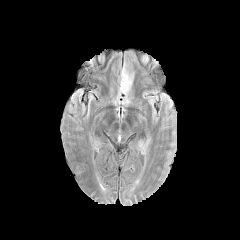
FLAIR MR.
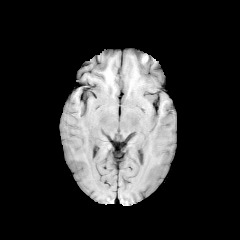
T1-weighted MR of the same slice.
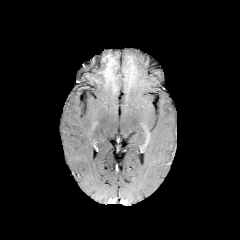
Post-contrast T1-weighted magnetic resonance.
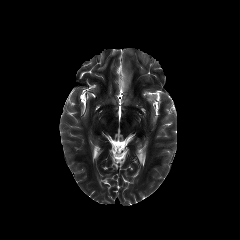
T2-weighted MR.
Axial slice
Segmented structures:
* peritumoral edema: 120 68 131 91